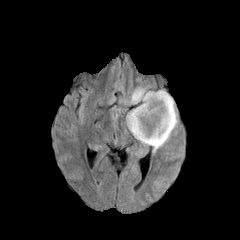
FLAIR MRI.
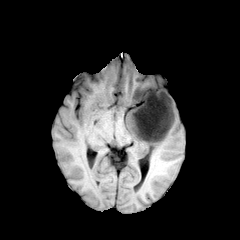
Same slice, T1-weighted MRI.
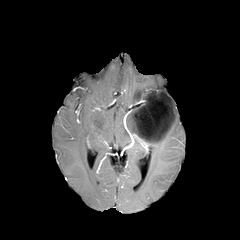
Post-contrast T1-weighted magnetic resonance.
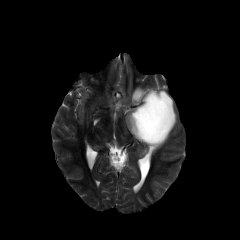
T2-weighted MR image.
240x240; Head
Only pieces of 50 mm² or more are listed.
peritumoral_edema:
  - rect(129, 87, 166, 106)
  - rect(126, 93, 177, 153)
enhancing_tumor:
  - rect(132, 92, 174, 142)
necrotic_tumor_core:
  - rect(133, 93, 172, 140)